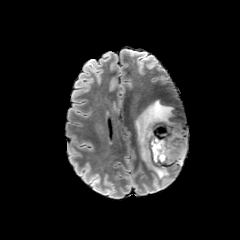
FLAIR magnetic resonance.
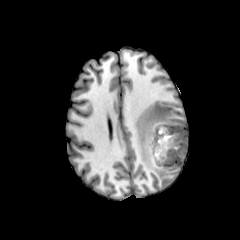
T1-weighted magnetic resonance.
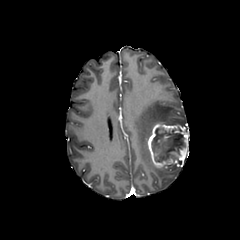
Post-contrast T1-weighted magnetic resonance.
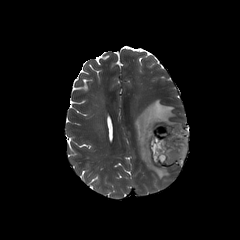
T2-weighted MR.
Brain
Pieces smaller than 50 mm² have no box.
{"enhancing_tumor": ["147, 123, 188, 167", "163, 159, 182, 166"], "peritumoral_edema": ["135, 99, 184, 178"], "necrotic_tumor_core": ["151, 127, 185, 165"]}